Brain | Image width 240 mm | Slice 90/155
FLAIR MR image.
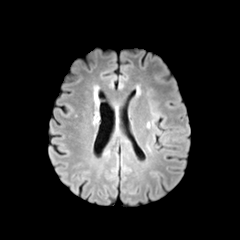
T1-weighted magnetic resonance.
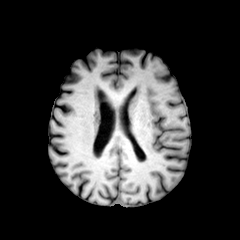
Post-contrast T1-weighted MR image.
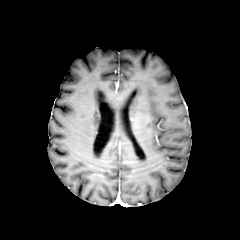
T2-weighted MR image.
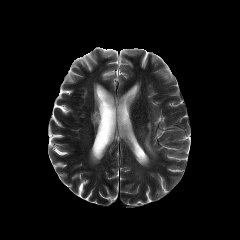
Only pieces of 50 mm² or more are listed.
peritumoral edema: left=93, top=103, right=100, bottom=124